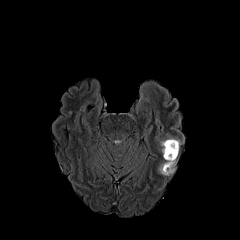
FLAIR MR image.
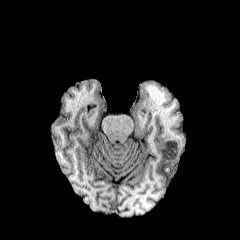
T1-weighted MR image of the same slice.
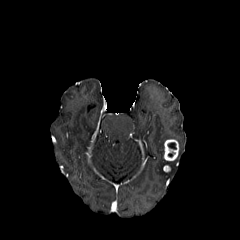
Post-contrast T1-weighted MR image.
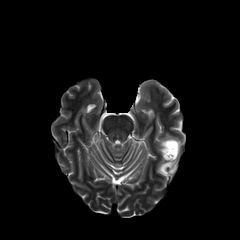
Same slice, T2-weighted MR.
Head.
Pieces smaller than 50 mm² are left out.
2 peritumoral edema regions are located at bbox(159, 133, 183, 157); bbox(158, 158, 177, 175). The largest necrotic tumor core region is bounded by bbox(168, 142, 176, 149). The largest enhancing tumor region is at bbox(164, 139, 179, 160).